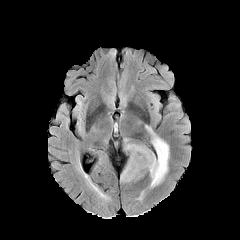
FLAIR MRI.
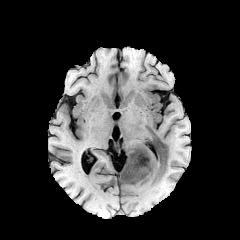
Same slice, T1-weighted MR.
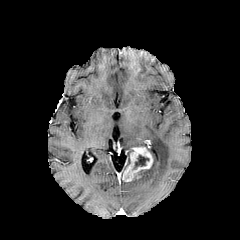
Post-contrast T1-weighted magnetic resonance.
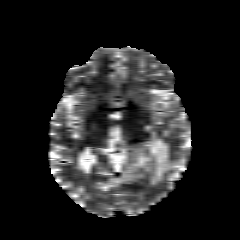
T2-weighted magnetic resonance of the same slice.
Brain | 240x240
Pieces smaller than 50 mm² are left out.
The largest enhancing tumor region lies within box(123, 141, 153, 181). The necrotic tumor core is bounded by box(134, 155, 148, 168). The 2 largest peritumoral edema regions are bounded by box(134, 125, 169, 187); box(121, 144, 146, 188).